Axial plane, Slice index 41
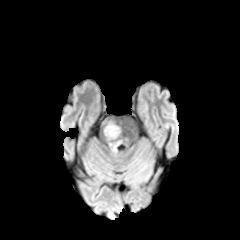
FLAIR MRI.
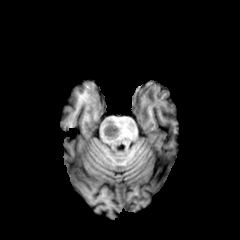
T1-weighted MR of the same slice.
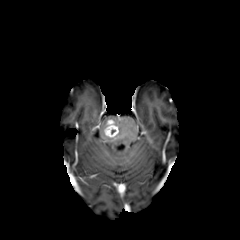
Same slice, post-contrast T1-weighted MRI.
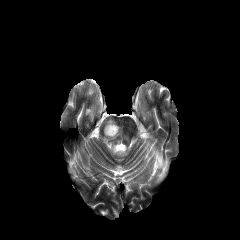
Same slice, T2-weighted magnetic resonance.
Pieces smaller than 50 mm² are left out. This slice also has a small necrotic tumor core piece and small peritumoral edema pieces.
Annotated regions:
* enhancing tumor: [104, 120, 118, 137]